Slice 54 of 155, 240x240, Axial slice, Head
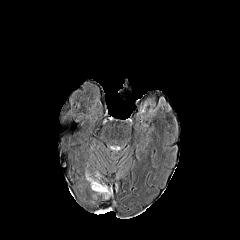
FLAIR MR.
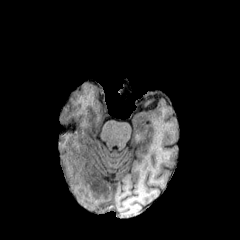
T1-weighted magnetic resonance of the same slice.
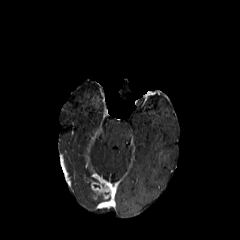
Post-contrast T1-weighted MR of the same slice.
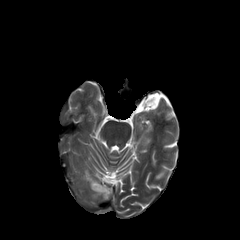
T2-weighted MR image of the same slice.
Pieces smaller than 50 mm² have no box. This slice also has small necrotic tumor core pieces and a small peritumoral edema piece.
Findings:
- enhancing tumor: 89:174:112:199